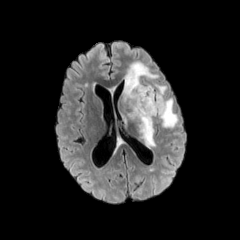
FLAIR MR image.
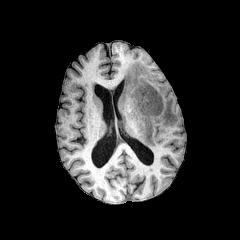
T1-weighted MRI.
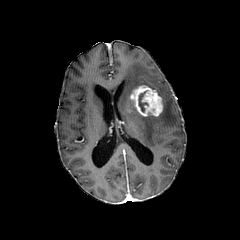
Post-contrast T1-weighted MRI.
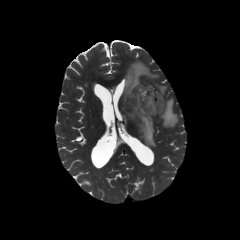
Same slice, T2-weighted MR image.
Brain
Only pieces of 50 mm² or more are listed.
<segmentation>
  <enhancing_tumor>[130,85,163,116]</enhancing_tumor>
  <peritumoral_edema>[123,61,158,101], [128,99,155,146], [154,83,178,127]</peritumoral_edema>
  <necrotic_tumor_core>[139,92,147,112]</necrotic_tumor_core>
</segmentation>